FLAIR MR.
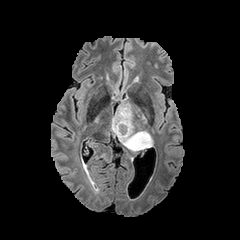
T1-weighted MR image.
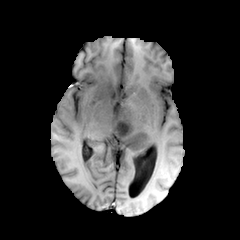
Post-contrast T1-weighted MR.
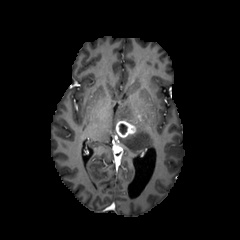
T2-weighted magnetic resonance.
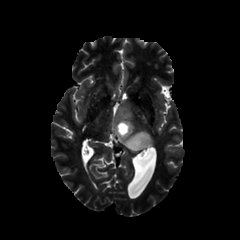
Brain | Axial view
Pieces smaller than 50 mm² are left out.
necrotic_tumor_core:
  - bbox(118, 123, 128, 135)
enhancing_tumor:
  - bbox(116, 121, 135, 137)
peritumoral_edema:
  - bbox(112, 101, 151, 149)